Slice index 65; Head; Axial view; 240x240 px
FLAIR MR.
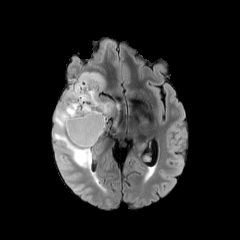
T1-weighted MR image.
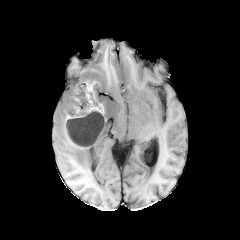
Post-contrast T1-weighted MR.
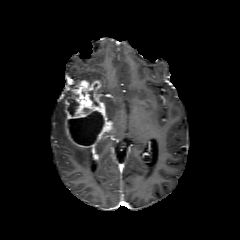
T2-weighted MRI.
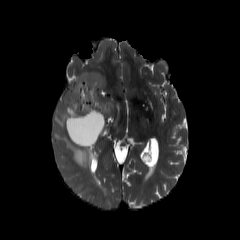
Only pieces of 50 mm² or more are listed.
enhancing tumor: bounding box l=65, t=78, r=109, b=148
peritumoral edema: bounding box l=73, t=72, r=104, b=91; l=53, t=90, r=92, b=169; l=104, t=101, r=113, b=115
necrotic tumor core: bounding box l=67, t=92, r=78, b=115; l=67, t=111, r=104, b=145; l=88, t=91, r=98, b=105